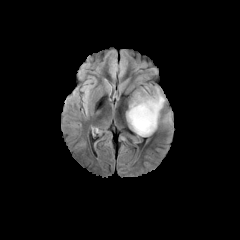
FLAIR MR.
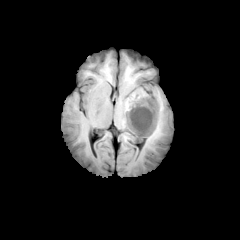
Same slice, T1-weighted MR image.
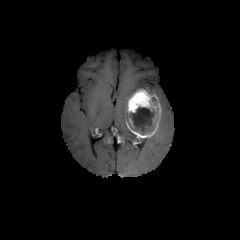
Post-contrast T1-weighted magnetic resonance of the same slice.
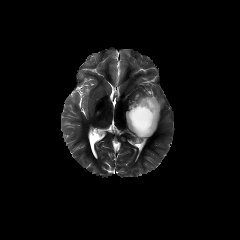
T2-weighted magnetic resonance.
Axial slice. Brain.
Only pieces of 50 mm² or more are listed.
enhancing tumor: (left=127, top=89, right=161, bottom=138) | necrotic tumor core: (left=130, top=108, right=154, bottom=131) | peritumoral edema: (left=154, top=89, right=164, bottom=108)